FLAIR MRI.
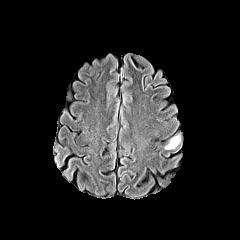
T1-weighted MRI.
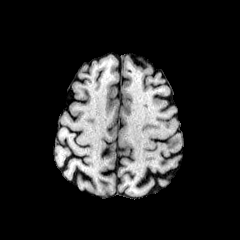
Post-contrast T1-weighted magnetic resonance.
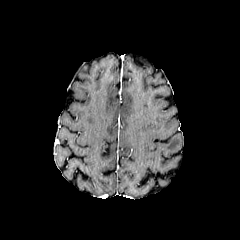
T2-weighted magnetic resonance.
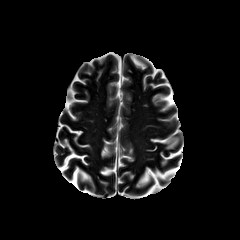
Head | Axial view
peritumoral edema = (165, 136, 180, 149)